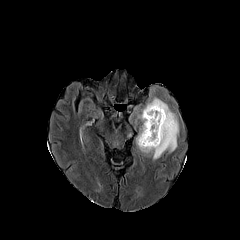
FLAIR MR.
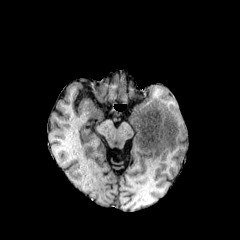
Same slice, T1-weighted MR.
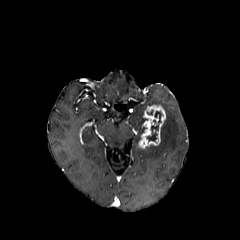
Same slice, post-contrast T1-weighted MR image.
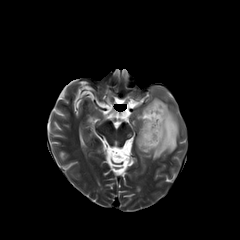
T2-weighted MR image of the same slice.
240x240, Axial view
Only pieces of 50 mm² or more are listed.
necrotic tumor core: x1=146 y1=111 x2=162 y2=141 | peritumoral edema: x1=135 y1=97 x2=179 y2=160 | enhancing tumor: x1=138 y1=105 x2=165 y2=148